Slice index 115. Head.
FLAIR MR.
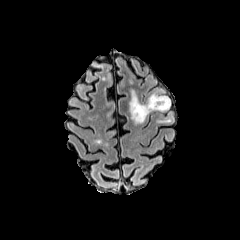
T1-weighted MR.
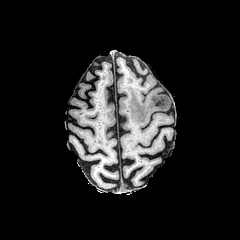
Post-contrast T1-weighted magnetic resonance.
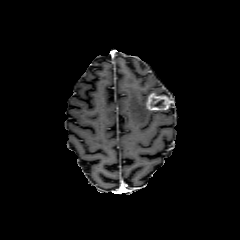
T2-weighted MRI.
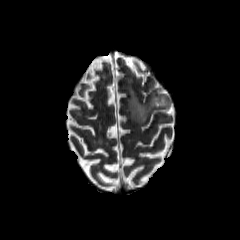
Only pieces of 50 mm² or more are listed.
Segmented structures:
- peritumoral edema: 129,90,165,123
- necrotic tumor core: 151,98,165,108
- enhancing tumor: 146,92,171,110